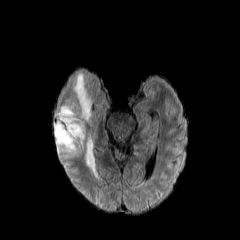
FLAIR MR.
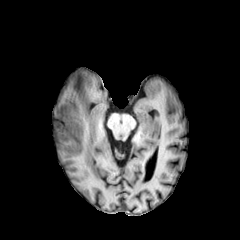
Same slice, T1-weighted magnetic resonance.
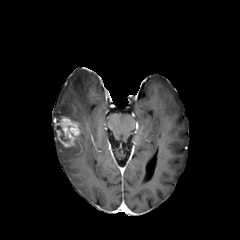
Post-contrast T1-weighted MRI.
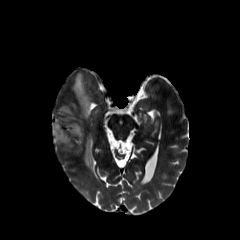
Same slice, T2-weighted MR.
Image size 240x240
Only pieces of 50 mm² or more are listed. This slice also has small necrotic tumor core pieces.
enhancing tumor at [x1=54, y1=116, x2=80, y2=147]
peritumoral edema at [x1=55, y1=105, x2=84, y2=152], [x1=85, y1=136, x2=97, y2=177], [x1=73, y1=73, x2=90, y2=121]